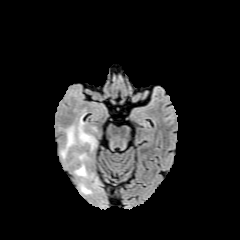
FLAIR MRI.
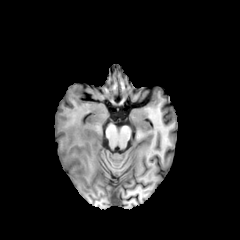
T1-weighted MR image of the same slice.
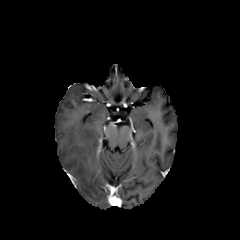
Post-contrast T1-weighted MRI.
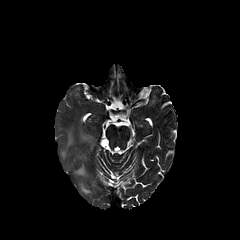
Same slice, T2-weighted MR.
Axial plane; Head
<segmentation>
  <peritumoral_edema>74, 153, 88, 177; 60, 118, 96, 158; 80, 183, 91, 194</peritumoral_edema>
</segmentation>